Axial view
FLAIR MR.
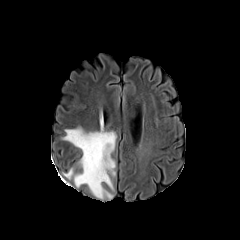
T1-weighted MRI.
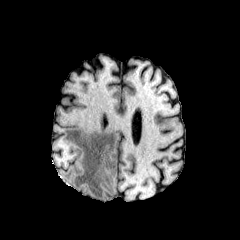
Post-contrast T1-weighted magnetic resonance.
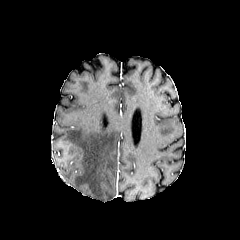
T2-weighted magnetic resonance.
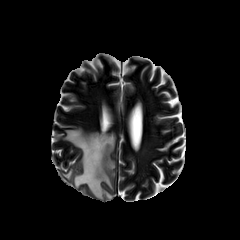
The peritumoral edema is bounded by 62,127,116,199.